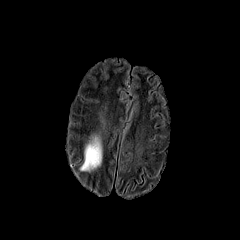
FLAIR magnetic resonance.
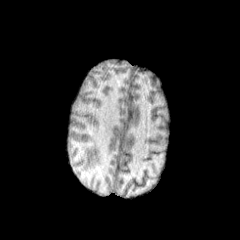
T1-weighted MR.
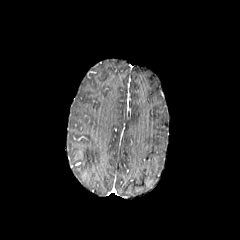
Post-contrast T1-weighted MRI.
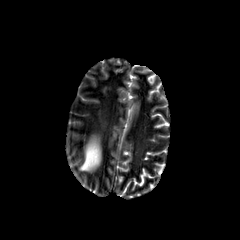
Same slice, T2-weighted magnetic resonance.
peritumoral edema: bbox=[80, 135, 102, 171]